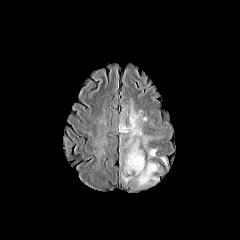
FLAIR MRI.
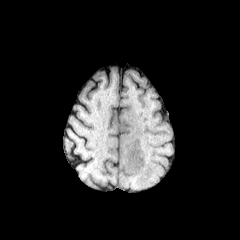
Same slice, T1-weighted MR image.
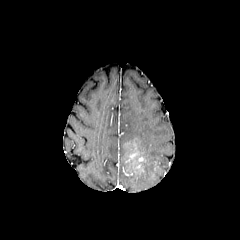
Post-contrast T1-weighted magnetic resonance.
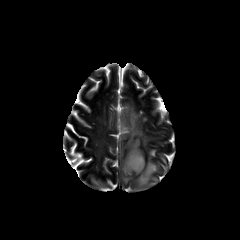
Same slice, T2-weighted MRI.
Brain.
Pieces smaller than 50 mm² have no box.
peritumoral edema: [90,130,107,156], [118,98,163,188], [160,156,168,168], [97,111,107,125]
enhancing tumor: [125,137,144,173]